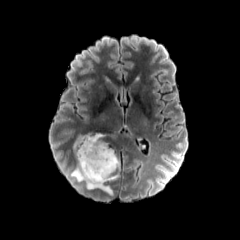
FLAIR MR.
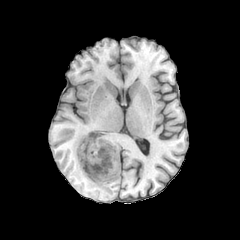
T1-weighted MR of the same slice.
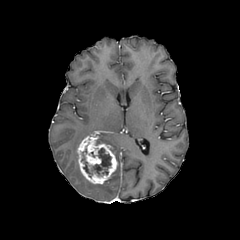
Post-contrast T1-weighted MR.
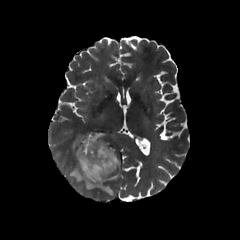
T2-weighted MR.
Axial slice. Head.
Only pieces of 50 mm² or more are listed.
The 2 largest necrotic tumor core regions are located at 81, 152, 92, 177; 92, 148, 111, 175. The 2 largest peritumoral edema regions appear at 70, 133, 112, 194; 107, 154, 119, 180. The enhancing tumor appears at 77, 133, 117, 184.